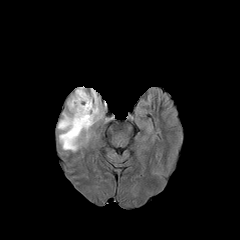
FLAIR MRI.
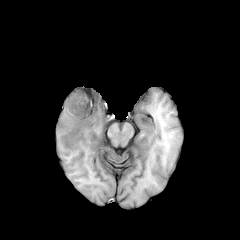
T1-weighted magnetic resonance of the same slice.
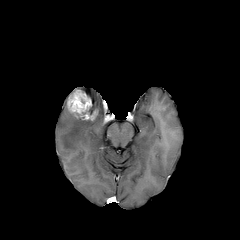
Post-contrast T1-weighted MR.
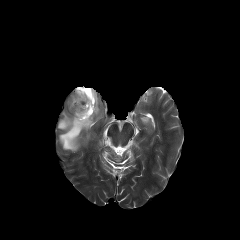
T2-weighted MR of the same slice.
Head.
peritumoral edema — x1=57 y1=86 x2=103 y2=151
enhancing tumor — x1=67 y1=88 x2=97 y2=120